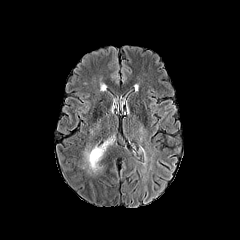
FLAIR MRI.
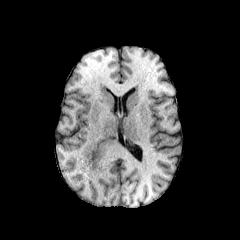
Same slice, T1-weighted MR.
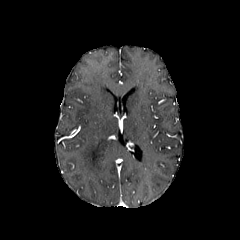
Post-contrast T1-weighted MR image.
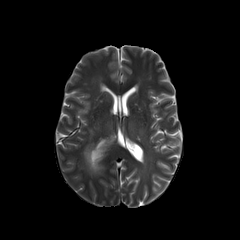
T2-weighted MR image of the same slice.
240x240 px, Brain
peritumoral edema: (left=84, top=138, right=113, bottom=172)